FLAIR MR image.
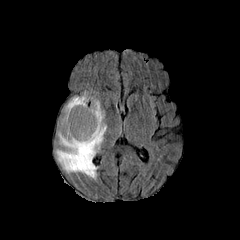
T1-weighted MRI.
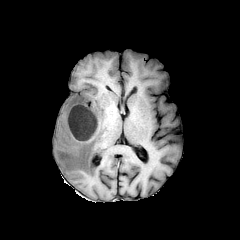
Post-contrast T1-weighted magnetic resonance.
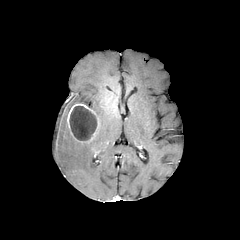
T2-weighted MR image.
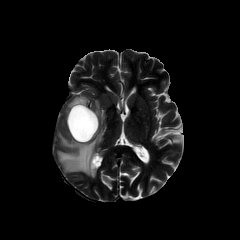
Axial plane
necrotic tumor core — region(69, 106, 97, 140)
peritumoral edema — region(56, 94, 106, 178)
enhancing tumor — region(67, 103, 99, 142)